FLAIR magnetic resonance.
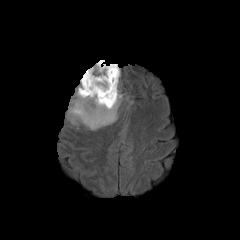
T1-weighted MR image.
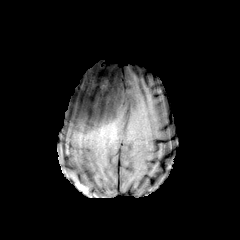
Post-contrast T1-weighted MR.
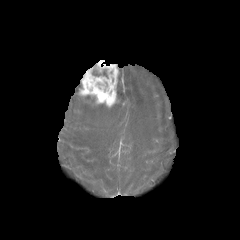
T2-weighted MR.
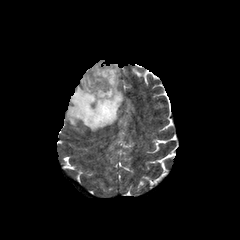
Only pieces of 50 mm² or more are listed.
enhancing_tumor:
  - (79, 60, 118, 107)
peritumoral_edema:
  - (66, 67, 122, 130)
necrotic_tumor_core:
  - (92, 69, 107, 77)